Axial plane. Head.
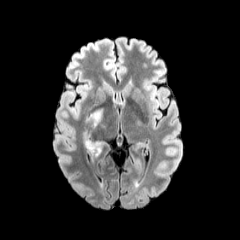
FLAIR MR.
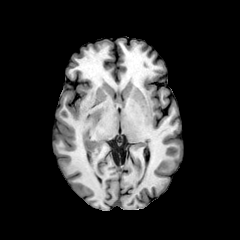
T1-weighted MRI of the same slice.
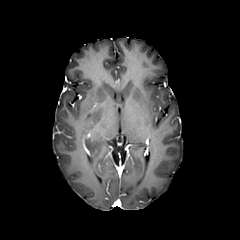
Post-contrast T1-weighted MRI of the same slice.
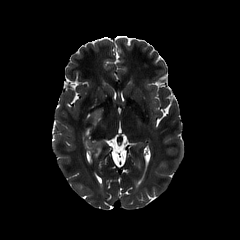
T2-weighted MR.
- peritumoral edema: <bbox>84, 130, 103, 156</bbox>, <bbox>86, 109, 102, 127</bbox>